Slice index 108
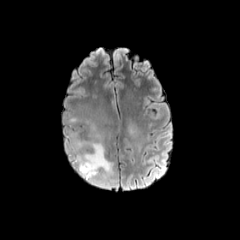
FLAIR MR.
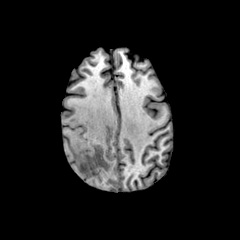
T1-weighted MRI of the same slice.
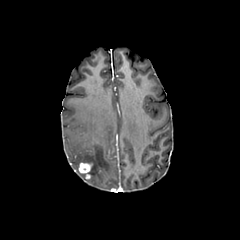
Post-contrast T1-weighted MR.
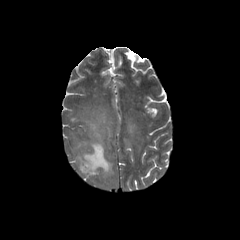
T2-weighted MR image.
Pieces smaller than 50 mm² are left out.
enhancing tumor — 79, 163, 92, 177
peritumoral edema — 71, 124, 113, 184